Head. 240x240. Slice 131 of 155. Axial view.
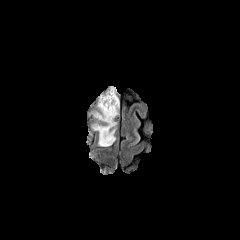
FLAIR MRI.
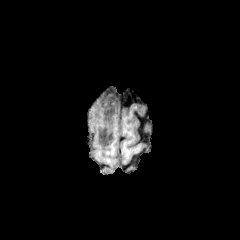
T1-weighted MRI.
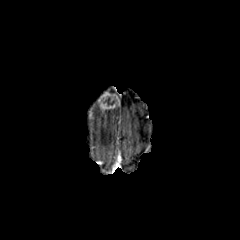
Post-contrast T1-weighted MRI of the same slice.
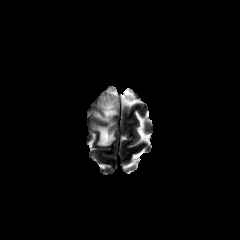
T2-weighted MRI of the same slice.
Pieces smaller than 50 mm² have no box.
Findings:
* necrotic tumor core: [103,97,115,105]
* enhancing tumor: [98,90,119,110]
* peritumoral edema: [92,107,118,146]